FLAIR magnetic resonance.
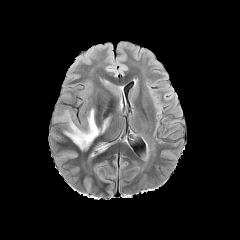
T1-weighted MR.
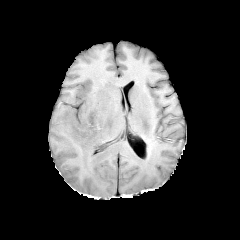
Post-contrast T1-weighted MRI.
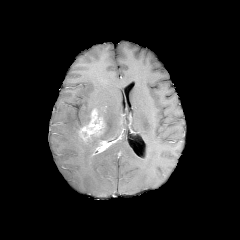
T2-weighted MR.
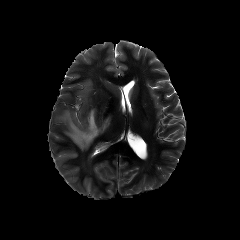
Axial view. Head.
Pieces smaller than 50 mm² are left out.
peritumoral edema = {"x1": 84, "y1": 108, "x2": 93, "y2": 125}, {"x1": 100, "y1": 117, "x2": 110, "y2": 133}, {"x1": 56, "y1": 110, "x2": 98, "y2": 150}
enhancing tumor = {"x1": 79, "y1": 109, "x2": 103, "y2": 141}, {"x1": 95, "y1": 141, "x2": 109, "y2": 152}